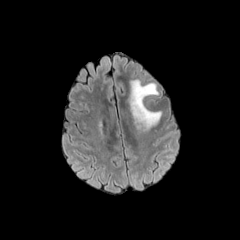
FLAIR MR.
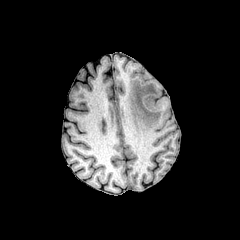
T1-weighted MRI.
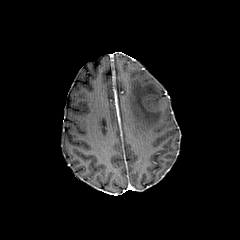
Post-contrast T1-weighted magnetic resonance.
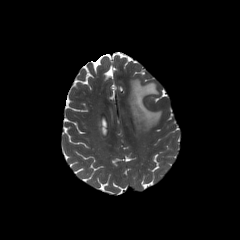
T2-weighted MRI.
Axial view; Head
The peritumoral edema is located at (left=129, top=79, right=161, bottom=130).